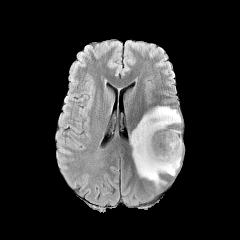
FLAIR MRI.
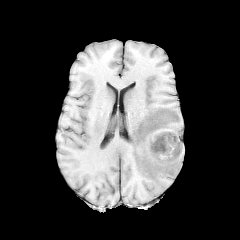
T1-weighted magnetic resonance.
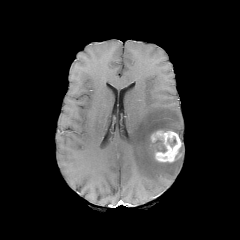
Post-contrast T1-weighted MR image.
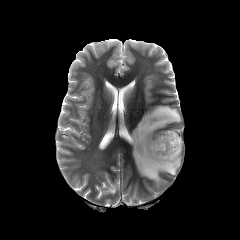
T2-weighted magnetic resonance of the same slice.
Brain; 240x240
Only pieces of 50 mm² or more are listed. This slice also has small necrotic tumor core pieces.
• enhancing tumor: <box>151,130,182,162</box>
• peritumoral edema: <box>130,106,182,187</box>